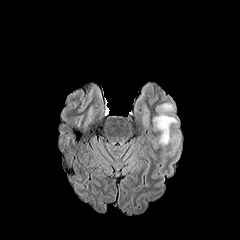
FLAIR MR image.
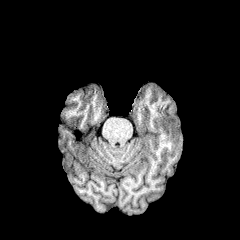
T1-weighted MR image of the same slice.
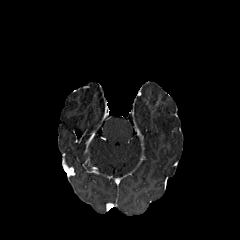
Post-contrast T1-weighted MRI of the same slice.
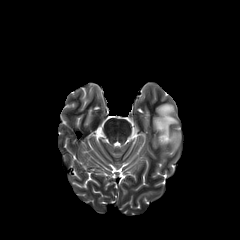
T2-weighted magnetic resonance.
peritumoral edema: {"x1": 153, "y1": 102, "x2": 180, "y2": 148}